Head; Slice 81/155; Axial view; 240x240
FLAIR MRI.
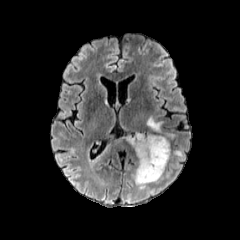
T1-weighted MR.
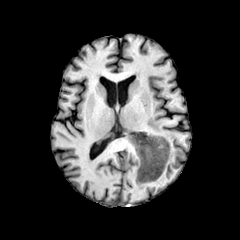
Post-contrast T1-weighted magnetic resonance.
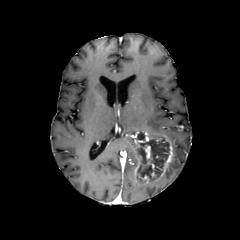
T2-weighted MR image.
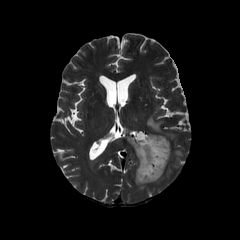
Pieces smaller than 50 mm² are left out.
The 2 largest enhancing tumor regions are located at (134, 131, 173, 184), (143, 145, 152, 159). The largest necrotic tumor core region lies within (137, 138, 169, 178). The 3 largest peritumoral edema regions are located at (126, 136, 136, 151), (147, 117, 162, 133), (173, 150, 184, 159).